Brain
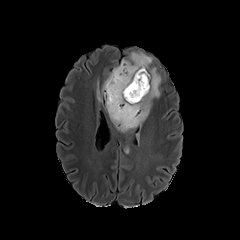
FLAIR MRI.
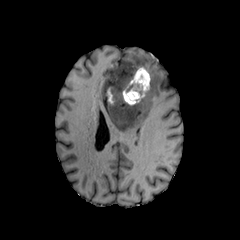
T1-weighted MR image.
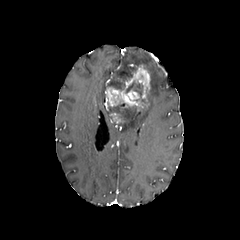
Post-contrast T1-weighted MR.
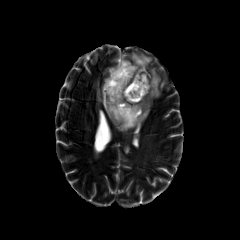
T2-weighted MR of the same slice.
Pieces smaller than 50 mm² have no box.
necrotic tumor core at 125,80,144,102; 111,103,136,121; 108,64,133,90
enhancing tumor at 111,112,124,123; 105,64,150,112
peritumoral edema at 111,67,160,132; 130,52,152,71; 95,67,116,120